Axial slice, Head, Image covers 240 mm x 240 mm
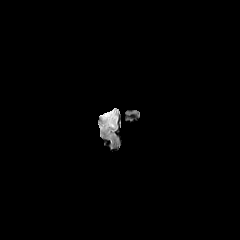
FLAIR MR image.
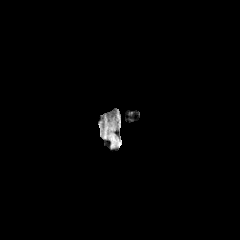
T1-weighted MR image.
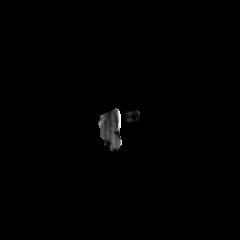
Post-contrast T1-weighted MRI.
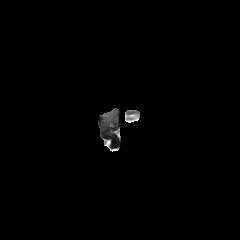
Same slice, T2-weighted MR image.
The peritumoral edema appears at bbox(101, 108, 117, 128).